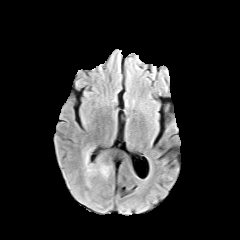
FLAIR MR.
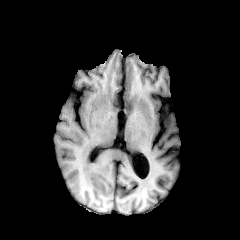
T1-weighted MR image.
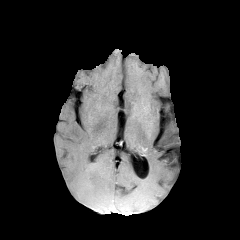
Post-contrast T1-weighted MRI of the same slice.
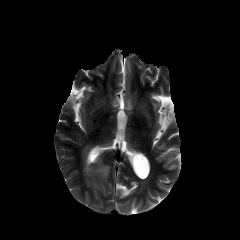
T2-weighted MR.
Axial plane. Brain.
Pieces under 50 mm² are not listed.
<segmentation>
  <peritumoral_edema>region(83, 148, 109, 178)</peritumoral_edema>
</segmentation>